Slice index 128. Head.
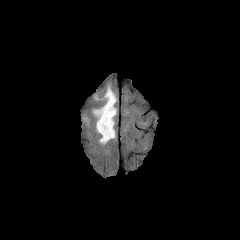
FLAIR MR image.
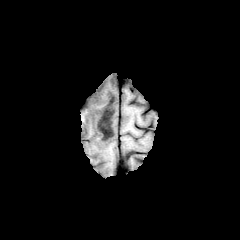
T1-weighted MR.
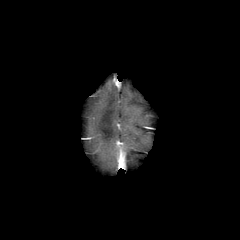
Same slice, post-contrast T1-weighted MR.
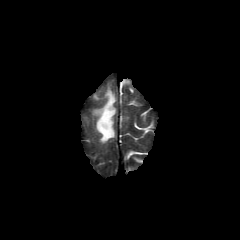
Same slice, T2-weighted MR image.
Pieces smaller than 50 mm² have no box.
peritumoral edema — rect(93, 85, 116, 144)